240x240 px
FLAIR magnetic resonance.
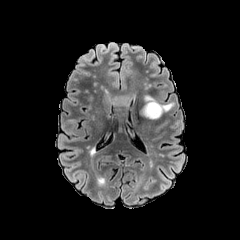
T1-weighted MRI.
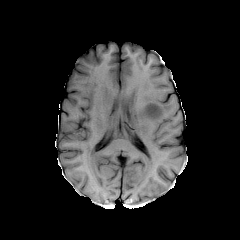
Post-contrast T1-weighted MR image.
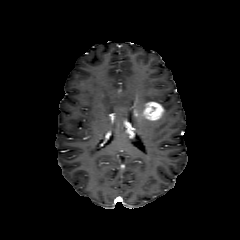
T2-weighted MR image.
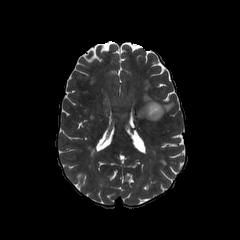
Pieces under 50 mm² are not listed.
The 2 largest peritumoral edema regions are bounded by (144, 95, 160, 103), (161, 102, 174, 112). The largest enhancing tumor region is bounded by (140, 101, 164, 120).